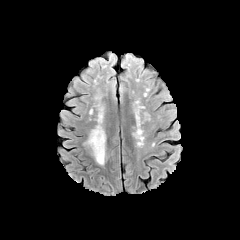
FLAIR MRI.
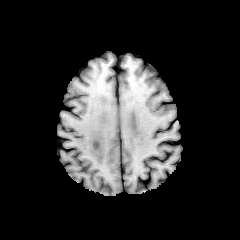
Same slice, T1-weighted MR.
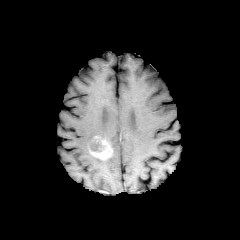
Same slice, post-contrast T1-weighted MR.
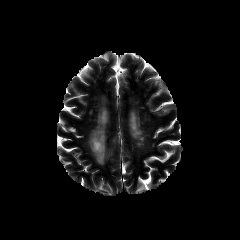
Same slice, T2-weighted MR.
Axial plane. 240x240 px. Brain.
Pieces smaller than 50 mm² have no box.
necrotic tumor core: box(93, 140, 101, 151) | peritumoral edema: box(88, 125, 105, 141) | enhancing tumor: box(88, 136, 111, 159)